FLAIR MRI.
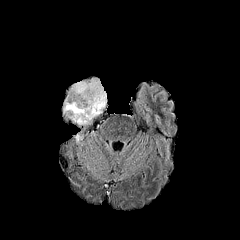
T1-weighted MRI.
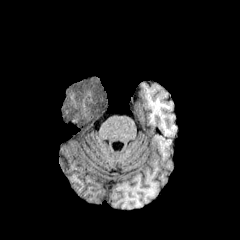
Post-contrast T1-weighted magnetic resonance.
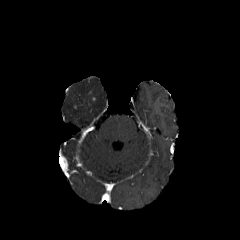
T2-weighted MR.
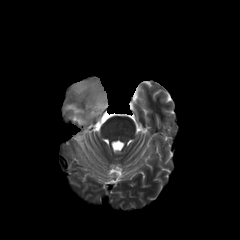
Image size 240x240, Brain, Axial view
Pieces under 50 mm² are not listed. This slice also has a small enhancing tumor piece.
The largest peritumoral edema region appears at x1=63 y1=79 x2=106 y2=124.